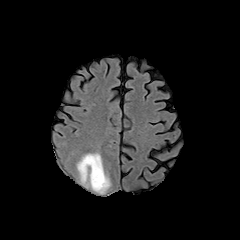
FLAIR MR.
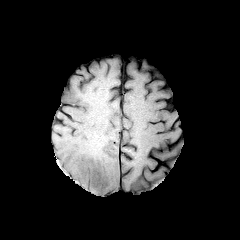
T1-weighted MR image.
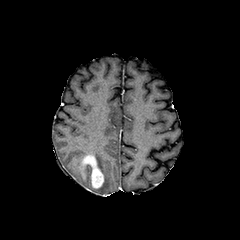
Post-contrast T1-weighted MR.
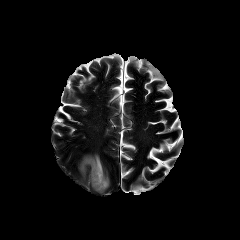
T2-weighted MRI of the same slice.
Brain
The enhancing tumor appears at (left=80, top=155, right=103, bottom=188). The peritumoral edema is located at (left=77, top=153, right=110, bottom=193).